FLAIR magnetic resonance.
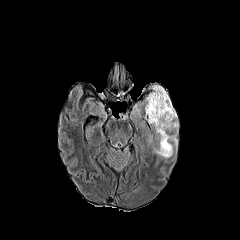
T1-weighted MR image.
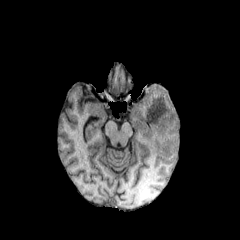
Post-contrast T1-weighted magnetic resonance.
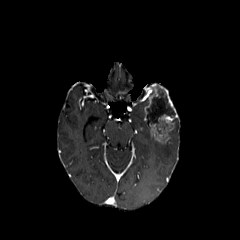
T2-weighted MR.
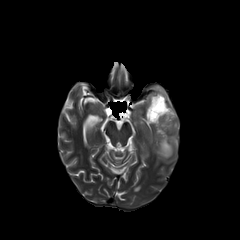
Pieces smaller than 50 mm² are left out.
<segmentation>
  <enhancing_tumor>rect(144, 84, 177, 143)</enhancing_tumor>
  <necrotic_tumor_core>rect(147, 86, 175, 133)</necrotic_tumor_core>
  <peritumoral_edema>rect(158, 118, 178, 158)</peritumoral_edema>
</segmentation>